FLAIR MR.
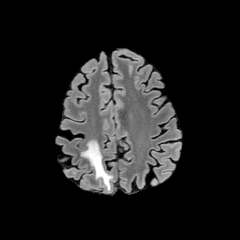
T1-weighted MRI.
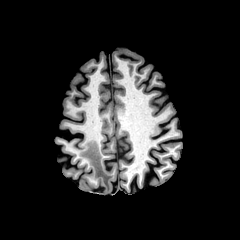
Post-contrast T1-weighted MR.
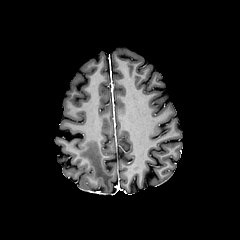
T2-weighted magnetic resonance.
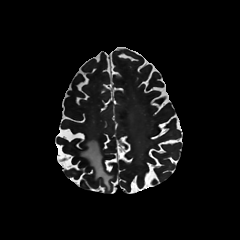
240x240
peritumoral edema at bbox=[81, 140, 112, 189]